Brain, Axial slice, Slice 82/155
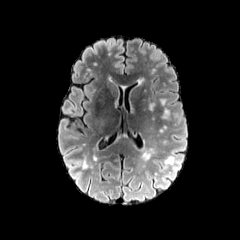
FLAIR magnetic resonance.
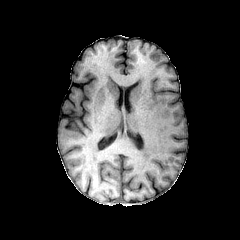
T1-weighted MRI of the same slice.
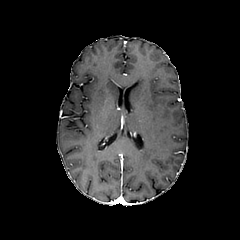
Post-contrast T1-weighted MR.
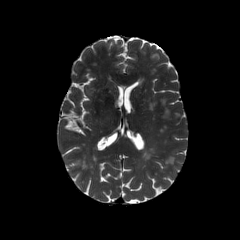
T2-weighted MR.
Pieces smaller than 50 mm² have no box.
peritumoral edema at left=165, top=156, right=174, bottom=164; left=142, top=151, right=150, bottom=160